Axial slice. Slice index 66.
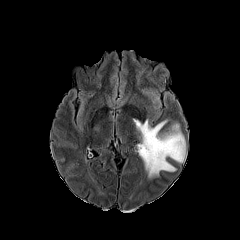
FLAIR MRI.
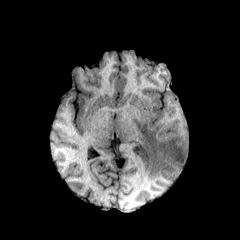
T1-weighted magnetic resonance.
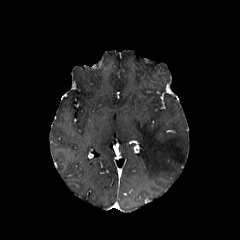
Post-contrast T1-weighted magnetic resonance.
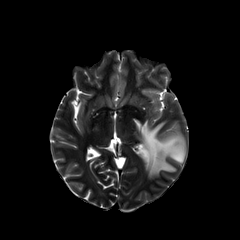
T2-weighted MR image.
peritumoral edema — 133:119:186:178